FLAIR MRI.
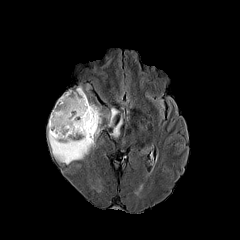
T1-weighted MRI.
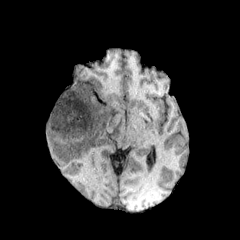
Post-contrast T1-weighted MR image.
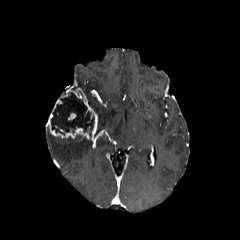
T2-weighted magnetic resonance.
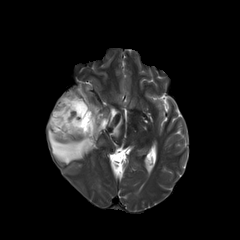
Axial view; 240x240; Brain
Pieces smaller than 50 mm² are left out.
necrotic tumor core at box=[51, 92, 94, 136]
enhancing tumor at box=[47, 87, 97, 143]
peritumoral edema at box=[111, 118, 122, 136]; box=[88, 101, 118, 136]; box=[48, 128, 92, 164]